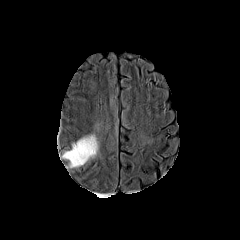
FLAIR MR image.
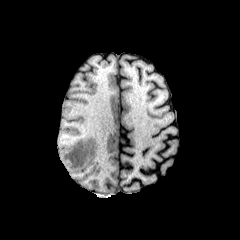
T1-weighted MR image of the same slice.
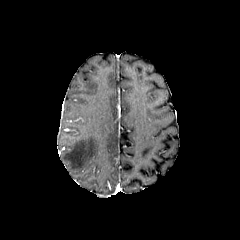
Same slice, post-contrast T1-weighted MR.
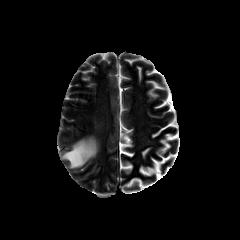
T2-weighted magnetic resonance of the same slice.
Image size 240x240 | Axial view | Head
<segmentation>
  <peritumoral_edema>x1=62 y1=135 x2=97 y2=167</peritumoral_edema>
</segmentation>